FLAIR magnetic resonance.
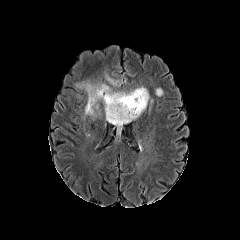
T1-weighted magnetic resonance.
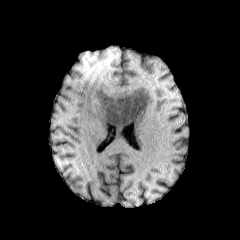
Post-contrast T1-weighted MR image.
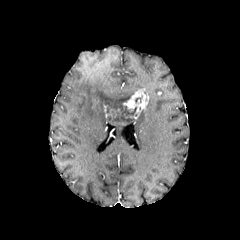
T2-weighted magnetic resonance.
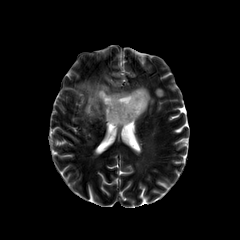
Image size 240x240 | Head | Axial view
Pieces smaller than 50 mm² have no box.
enhancing_tumor:
  - l=123, t=87, r=149, b=116
necrotic_tumor_core:
  - l=105, t=103, r=136, b=124
peritumoral_edema:
  - l=77, t=82, r=143, b=118